FLAIR magnetic resonance.
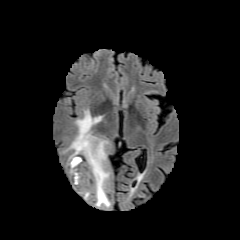
T1-weighted MR.
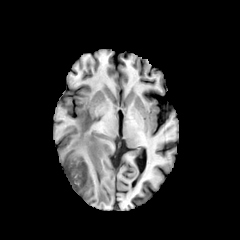
Post-contrast T1-weighted MR.
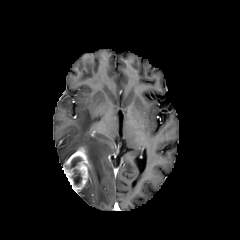
T2-weighted magnetic resonance.
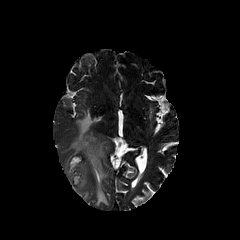
Axial view
<segmentation>
  <peritumoral_edema>[x1=79, y1=190, x2=89, y2=199], [x1=63, y1=109, x2=110, y2=206]</peritumoral_edema>
  <necrotic_tumor_core>[x1=66, y1=157, x2=82, y2=186]</necrotic_tumor_core>
  <enhancing_tumor>[x1=63, y1=145, x2=90, y2=191]</enhancing_tumor>
</segmentation>